FLAIR magnetic resonance.
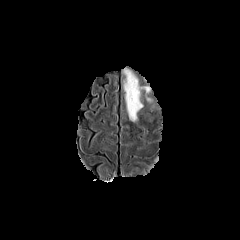
T1-weighted magnetic resonance.
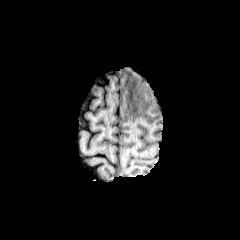
Post-contrast T1-weighted MR image.
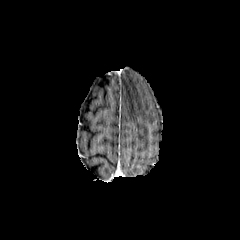
T2-weighted MR image.
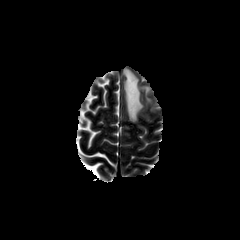
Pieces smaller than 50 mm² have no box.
peritumoral edema: (left=124, top=69, right=150, bottom=121)